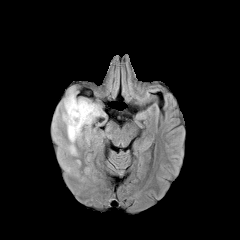
FLAIR MRI.
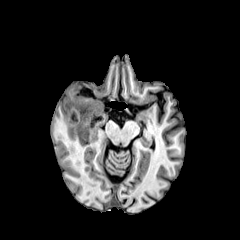
T1-weighted magnetic resonance of the same slice.
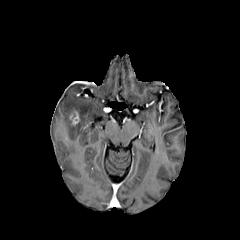
Post-contrast T1-weighted MRI.
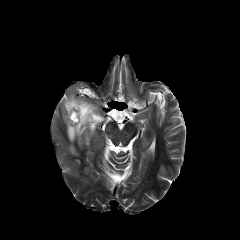
T2-weighted MR image.
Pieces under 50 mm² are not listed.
enhancing tumor = [69, 110, 79, 125]
peritumoral edema = [62, 89, 104, 155]